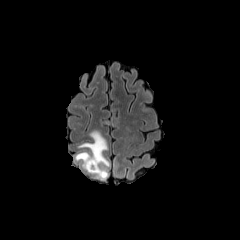
FLAIR MR.
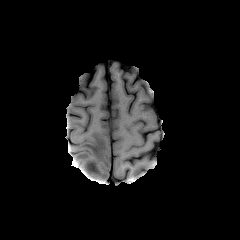
Same slice, T1-weighted MRI.
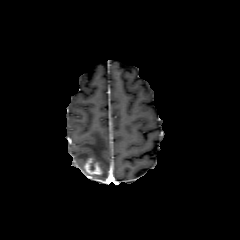
Post-contrast T1-weighted MR of the same slice.
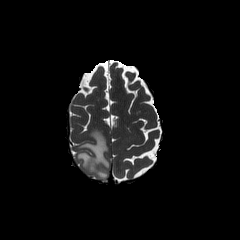
T2-weighted MRI of the same slice.
Axial plane
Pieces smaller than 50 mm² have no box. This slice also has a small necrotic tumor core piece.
enhancing tumor: bounding box (left=84, top=157, right=102, bottom=177)
peritumoral edema: bounding box (left=75, top=130, right=110, bottom=180)